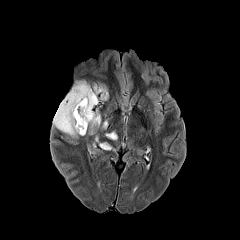
FLAIR MR.
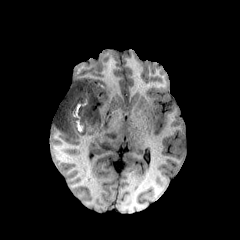
T1-weighted MR image.
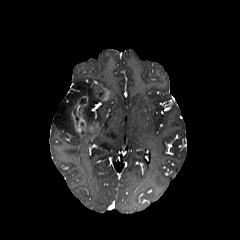
Post-contrast T1-weighted magnetic resonance of the same slice.
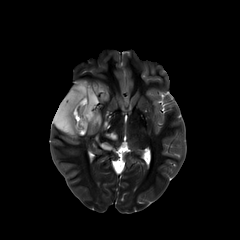
T2-weighted magnetic resonance.
Head
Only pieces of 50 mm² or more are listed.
enhancing tumor: region(71, 110, 86, 136); region(100, 87, 108, 100) | necrotic tumor core: region(72, 96, 98, 129) | peritumoral edema: region(105, 132, 115, 139); region(53, 81, 107, 136); region(99, 142, 111, 149); region(93, 110, 101, 126)